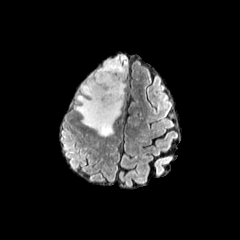
FLAIR magnetic resonance.
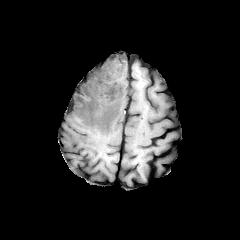
Same slice, T1-weighted MR.
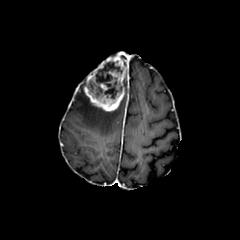
Post-contrast T1-weighted MR of the same slice.
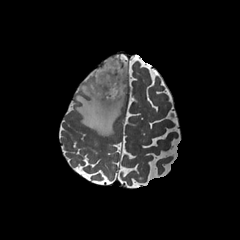
Same slice, T2-weighted magnetic resonance.
Brain, Axial slice
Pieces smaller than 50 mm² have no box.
enhancing tumor — (x1=83, y1=53, x2=128, y2=112)
necrotic tumor core — (x1=87, y1=62, x2=122, y2=98)
peritumoral edema — (x1=74, y1=81, x2=123, y2=136)